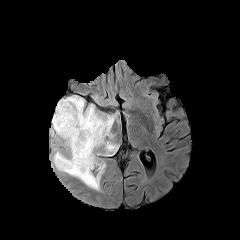
FLAIR MR.
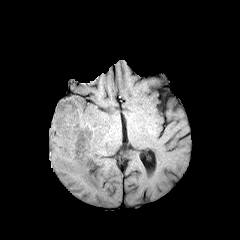
T1-weighted magnetic resonance.
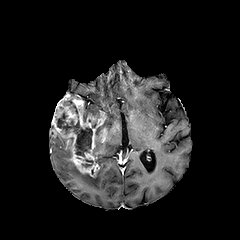
Post-contrast T1-weighted MR of the same slice.
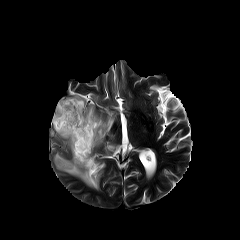
T2-weighted magnetic resonance.
Image size 240x240 | Brain | Axial slice
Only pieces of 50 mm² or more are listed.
The largest necrotic tumor core region is located at (56,112,92,156). The largest enhancing tumor region is bounded by (50,95,107,176). The 4 largest peritumoral edema regions are bounded by (94,140,118,155), (83,104,99,119), (95,115,116,138), (53,147,105,190).